Axial slice; Brain
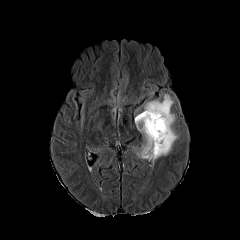
FLAIR MRI.
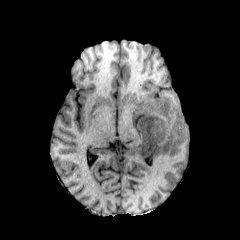
T1-weighted MR image of the same slice.
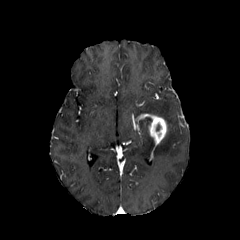
Post-contrast T1-weighted MRI.
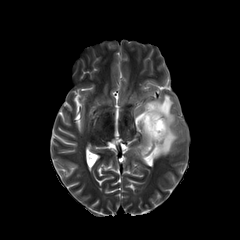
T2-weighted MR image.
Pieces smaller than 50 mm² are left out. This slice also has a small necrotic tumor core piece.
peritumoral edema — (134,88,186,159)
enhancing tumor — (135,113,167,149)